FLAIR MRI.
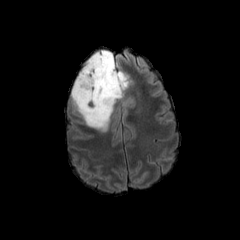
T1-weighted MRI.
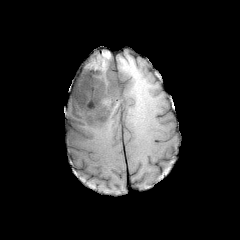
Post-contrast T1-weighted MR.
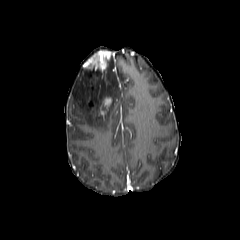
T2-weighted magnetic resonance.
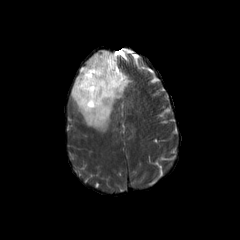
240x240 px; Head; Axial view
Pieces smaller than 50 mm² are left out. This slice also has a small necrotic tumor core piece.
Findings:
- enhancing tumor: x1=98 y1=97 x2=111 y2=118, x1=83 y1=50 x2=111 y2=72
- peritumoral edema: x1=71 y1=54 x2=128 y2=132